240x240. Image width 240 mm, 1.00 mm slice spacing. Axial view. Slice 118 of 155. Brain.
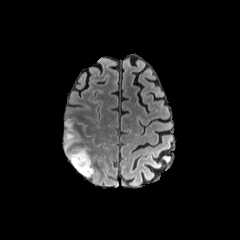
FLAIR magnetic resonance.
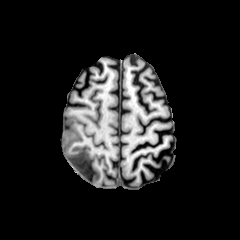
T1-weighted MRI.
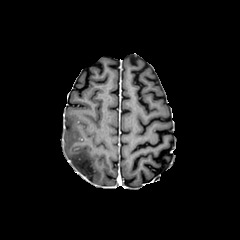
Post-contrast T1-weighted MR image.
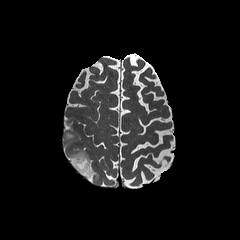
T2-weighted MR image.
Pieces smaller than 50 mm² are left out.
{"peritumoral_edema": ["bbox=[63, 120, 93, 177]"]}